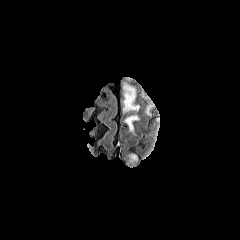
FLAIR MR.
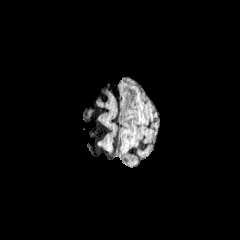
T1-weighted MR of the same slice.
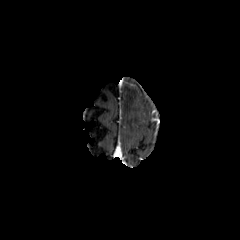
Post-contrast T1-weighted MRI.
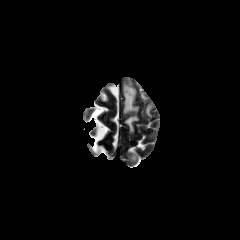
T2-weighted magnetic resonance of the same slice.
Brain, 240x240
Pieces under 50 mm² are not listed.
peritumoral_edema:
  - [125, 115, 138, 132]
  - [128, 153, 137, 165]
  - [123, 84, 139, 112]